240x240 px; Axial plane; Slice index 79; Brain
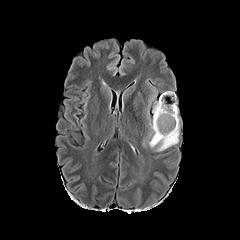
FLAIR magnetic resonance.
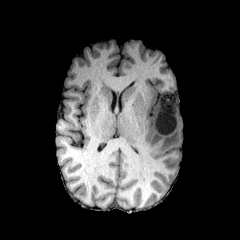
T1-weighted MRI of the same slice.
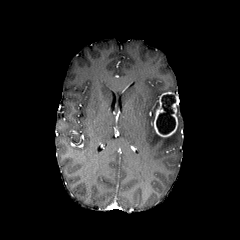
Post-contrast T1-weighted MR.
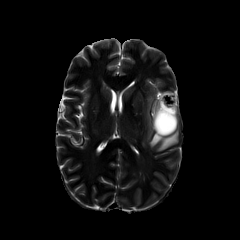
T2-weighted magnetic resonance of the same slice.
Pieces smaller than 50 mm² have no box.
peritumoral edema — <box>152,102,159,122</box>, <box>149,106,179,151</box>
enhancing tumor — <box>153,92,178,137</box>
necrotic tumor core — <box>156,94,175,134</box>